Head | Slice 82/155 | Image width 240 mm, 1.00 mm slice spacing
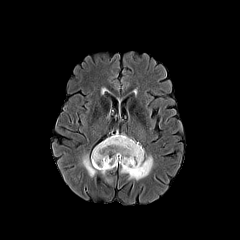
FLAIR MRI.
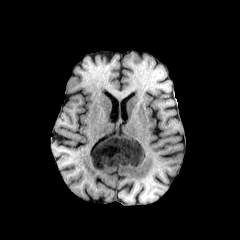
T1-weighted MRI.
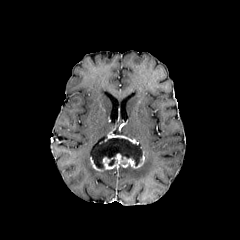
Post-contrast T1-weighted MR image.
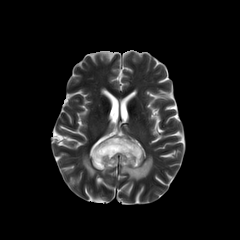
T2-weighted magnetic resonance.
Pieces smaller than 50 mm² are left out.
necrotic tumor core — (x1=91, y1=138, x2=142, y2=168)
enhancing tumor — (x1=90, y1=150, x2=144, y2=171), (x1=104, y1=134, x2=138, y2=144)
peritumoral edema — (x1=120, y1=155, x2=153, y2=180), (x1=82, y1=154, x2=99, y2=176)